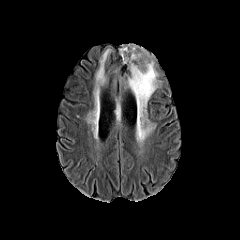
FLAIR MR.
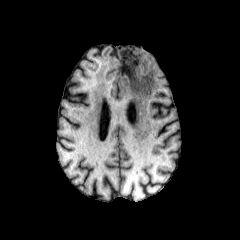
Same slice, T1-weighted MR.
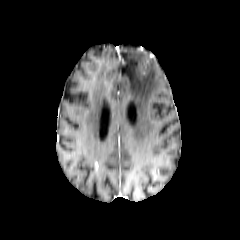
Post-contrast T1-weighted magnetic resonance of the same slice.
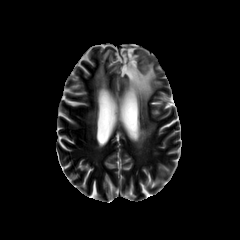
T2-weighted MR image.
Axial view
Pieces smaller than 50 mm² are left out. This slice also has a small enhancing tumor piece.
Findings:
* peritumoral edema: bbox=[120, 44, 159, 141]; bbox=[95, 49, 110, 96]; bbox=[92, 106, 97, 126]